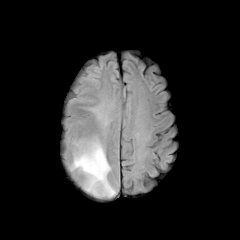
FLAIR MR.
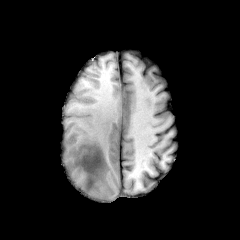
T1-weighted MR.
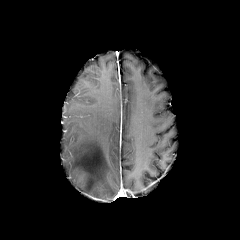
Post-contrast T1-weighted MR.
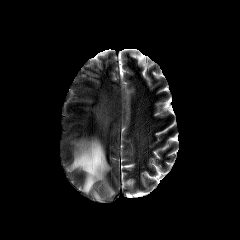
T2-weighted MR image of the same slice.
240x240 | Head
The peritumoral edema is bounded by x1=70 y1=138 x2=115 y2=196.